240x240. Slice 111 of 155. Brain. Axial slice. Image covers 240 mm x 240 mm.
FLAIR magnetic resonance.
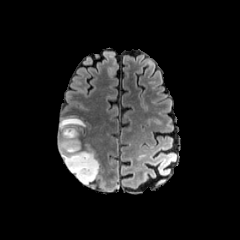
T1-weighted MR.
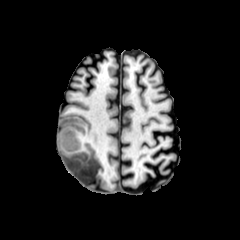
Post-contrast T1-weighted MRI.
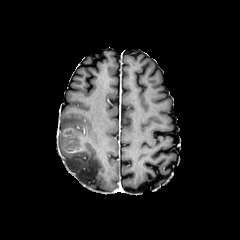
T2-weighted MR image.
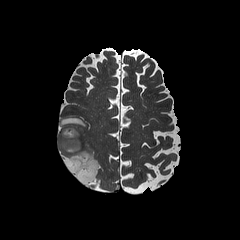
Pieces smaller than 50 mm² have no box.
The enhancing tumor appears at (59, 125, 83, 153). The largest necrotic tumor core region lies within (70, 138, 78, 146). 2 peritumoral edema regions are located at (59, 115, 88, 136), (59, 139, 99, 184).